Slice 49/155; Head
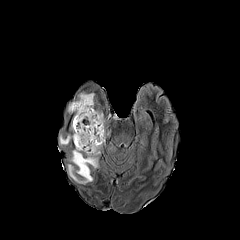
FLAIR MR image.
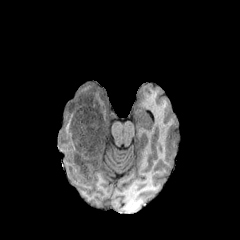
T1-weighted magnetic resonance.
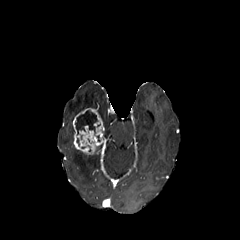
Post-contrast T1-weighted MR image.
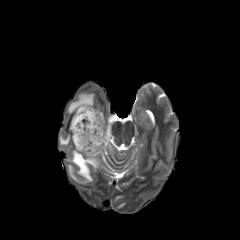
T2-weighted MR of the same slice.
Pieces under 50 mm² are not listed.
necrotic tumor core: bounding box (75,110,97,134)
enhancing tumor: bounding box (72,108,105,154)
peritumoral edema: bounding box (68,145,101,183), (59,134,73,145), (67,93,94,115)